FLAIR MR.
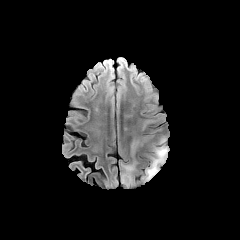
T1-weighted MR.
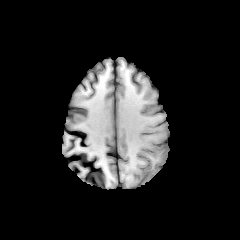
Post-contrast T1-weighted MRI.
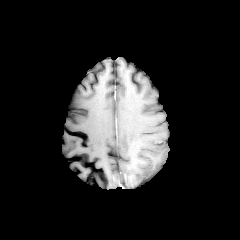
T2-weighted MR.
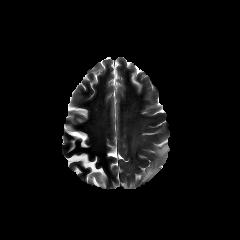
Axial view; Brain; 240x240 px
Segmented structures:
* peritumoral edema: (143,137,168,180)